Axial slice. Slice index 40. Brain.
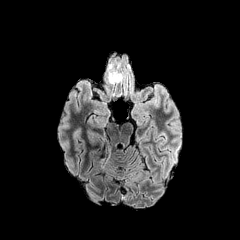
FLAIR MR.
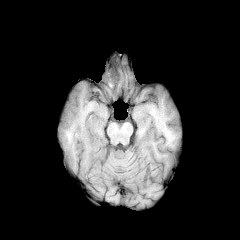
T1-weighted magnetic resonance of the same slice.
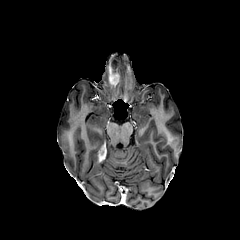
Post-contrast T1-weighted MR.
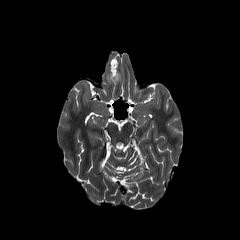
Same slice, T2-weighted MR.
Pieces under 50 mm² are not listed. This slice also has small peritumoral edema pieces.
Annotated regions:
• enhancing tumor: box(98, 145, 105, 161); box(109, 74, 119, 84)